FLAIR magnetic resonance.
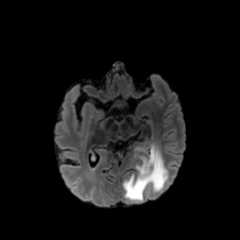
T1-weighted MRI.
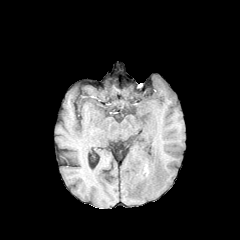
Post-contrast T1-weighted MR image.
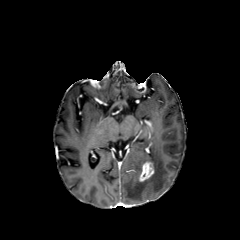
T2-weighted MR image.
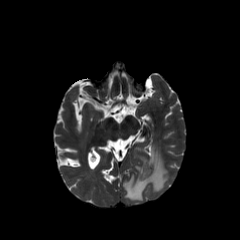
Segmented structures:
• enhancing tumor: box=[139, 161, 154, 181]
• peritumoral edema: box=[123, 145, 167, 201]